FLAIR MR.
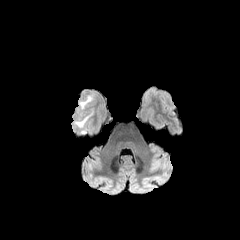
T1-weighted MR.
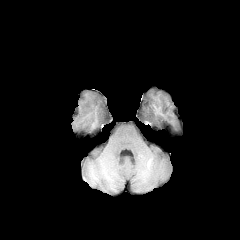
Post-contrast T1-weighted MRI.
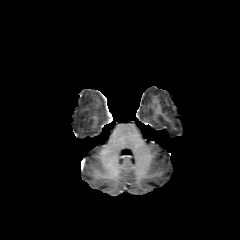
T2-weighted MRI.
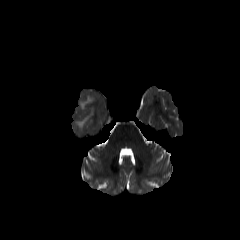
Brain. Axial slice.
peritumoral edema — bbox=[75, 109, 92, 128]; bbox=[79, 96, 92, 108]